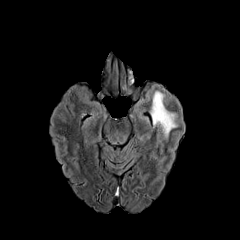
FLAIR MR image.
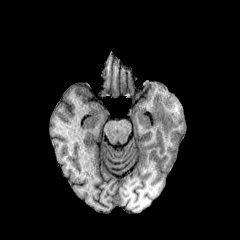
T1-weighted MRI.
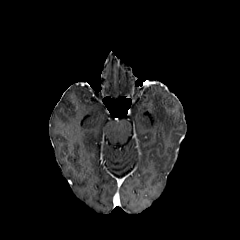
Same slice, post-contrast T1-weighted magnetic resonance.
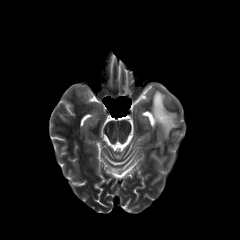
T2-weighted MRI of the same slice.
Axial view. Head.
The peritumoral edema appears at l=151, t=91, r=177, b=138.